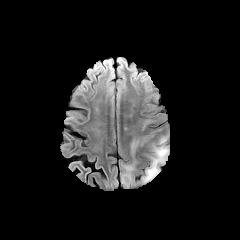
FLAIR magnetic resonance.
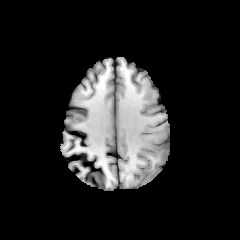
T1-weighted MRI.
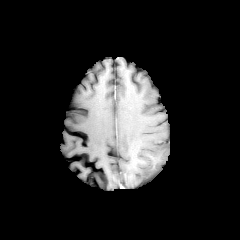
Post-contrast T1-weighted magnetic resonance.
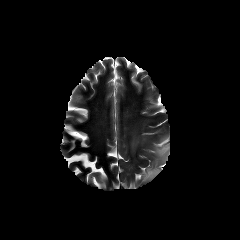
T2-weighted MRI of the same slice.
Head. 240x240 px. Axial view.
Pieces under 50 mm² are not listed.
<segmentation>
  <peritumoral_edema>bbox(142, 135, 169, 182)</peritumoral_edema>
</segmentation>